Brain, Axial view
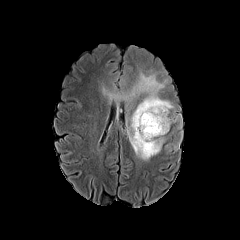
FLAIR magnetic resonance.
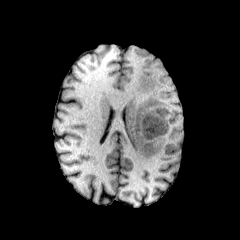
Same slice, T1-weighted magnetic resonance.
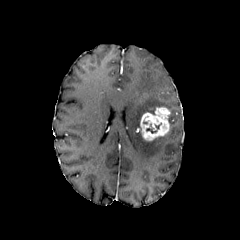
Post-contrast T1-weighted MRI of the same slice.
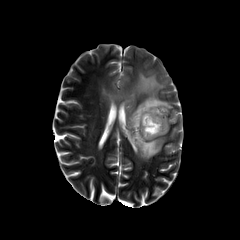
Same slice, T2-weighted MRI.
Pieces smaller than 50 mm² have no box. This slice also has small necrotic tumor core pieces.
enhancing tumor at box=[137, 107, 169, 140]
peritumoral edema at box=[126, 72, 173, 159]